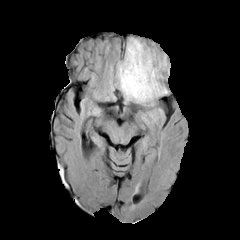
FLAIR MR image.
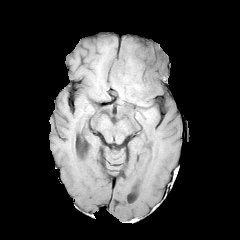
T1-weighted magnetic resonance.
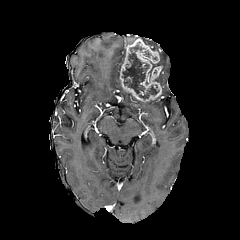
Same slice, post-contrast T1-weighted MRI.
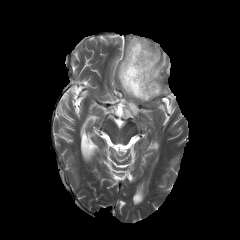
T2-weighted magnetic resonance.
240x240 px, Brain
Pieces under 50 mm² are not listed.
peritumoral edema: [149,54,166,76], [117,60,145,102] | necrotic tumor core: [139,85,158,99], [122,45,148,94] | enhancing tumor: [119,38,163,101]